FLAIR magnetic resonance.
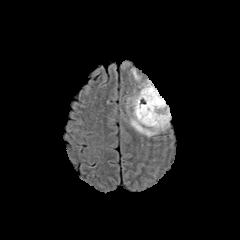
T1-weighted MRI.
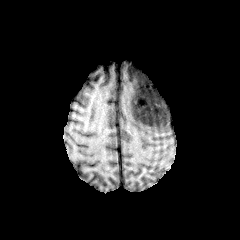
Post-contrast T1-weighted MRI.
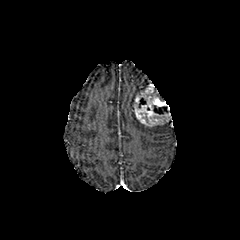
T2-weighted MR image.
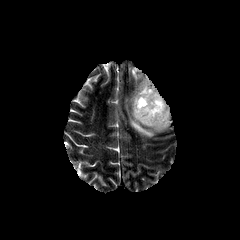
240x240
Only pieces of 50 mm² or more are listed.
peritumoral edema at bbox=[130, 112, 169, 136]; bbox=[132, 68, 140, 79]
necrotic tumor core at bbox=[153, 105, 167, 114]
enhancing tumor at bbox=[133, 80, 171, 126]